FLAIR magnetic resonance.
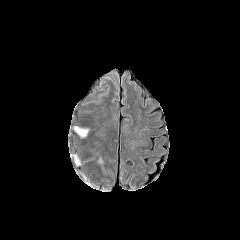
T1-weighted MR.
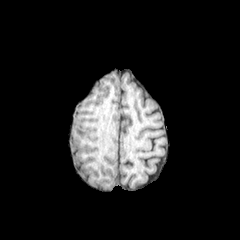
Post-contrast T1-weighted MR image.
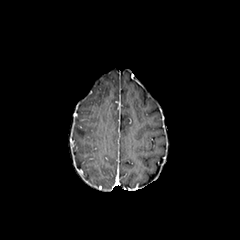
T2-weighted MR image.
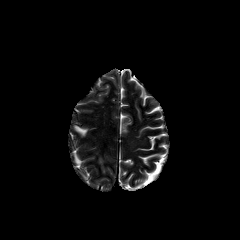
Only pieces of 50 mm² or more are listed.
The largest peritumoral edema region appears at [74,126,88,136].